FLAIR magnetic resonance.
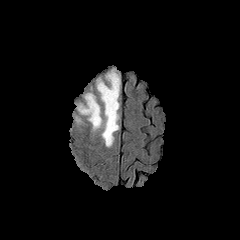
T1-weighted MRI.
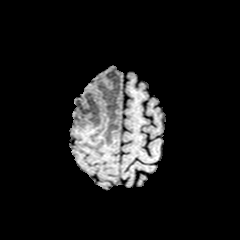
Post-contrast T1-weighted MRI.
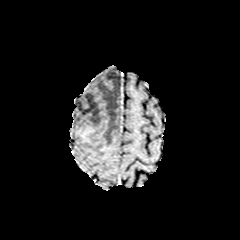
T2-weighted MR image.
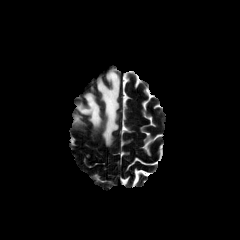
Axial plane. Brain. 240x240.
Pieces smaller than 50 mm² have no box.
The largest peritumoral edema region lies within left=77, top=69, right=120, bottom=146.